FLAIR MR image.
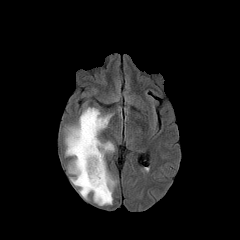
T1-weighted MR image.
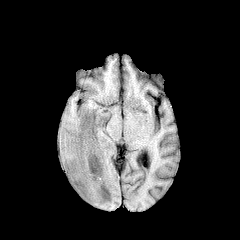
Post-contrast T1-weighted magnetic resonance.
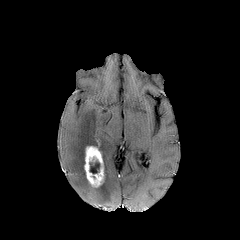
T2-weighted MR.
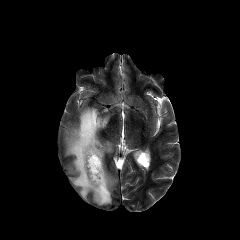
Head | 240x240
necrotic tumor core = <bbox>89, 161, 100, 173</bbox>
enhancing tumor = <bbox>84, 146, 104, 187</bbox>
peritumoral edema = <bbox>64, 107, 116, 205</bbox>